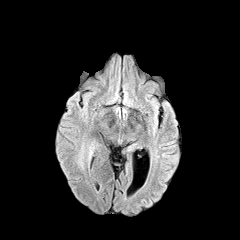
FLAIR magnetic resonance.
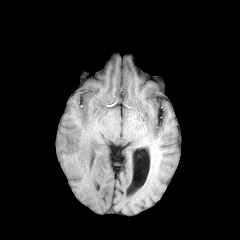
Same slice, T1-weighted MRI.
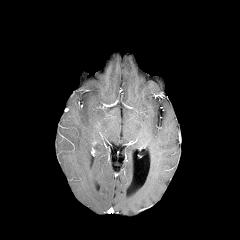
Same slice, post-contrast T1-weighted MRI.
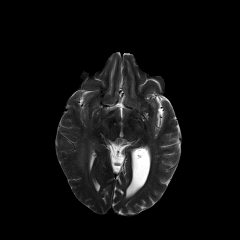
T2-weighted MR of the same slice.
{
  "peritumoral_edema": [
    "bbox(88, 143, 94, 160)",
    "bbox(79, 144, 84, 167)"
  ]
}